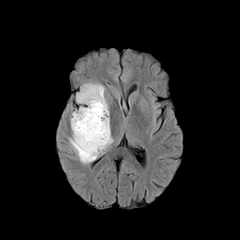
FLAIR magnetic resonance.
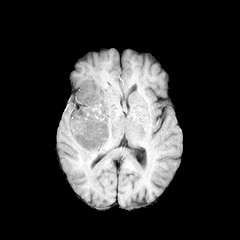
Same slice, T1-weighted MR image.
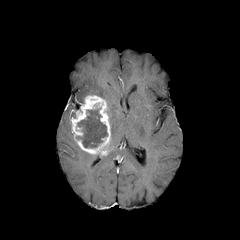
Post-contrast T1-weighted MR.
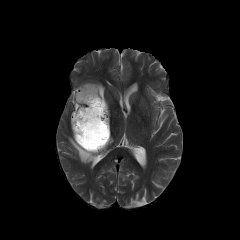
T2-weighted MR.
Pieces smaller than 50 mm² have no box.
<segmentation>
  <necrotic_tumor_core>box(76, 108, 107, 148)</necrotic_tumor_core>
  <enhancing_tumor>box(68, 95, 110, 154)</enhancing_tumor>
  <peritumoral_edema>box(76, 83, 105, 103); box(69, 133, 95, 163)</peritumoral_edema>
</segmentation>